Axial view.
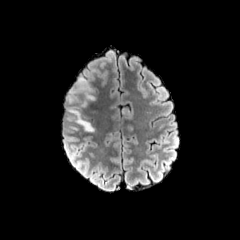
FLAIR MRI.
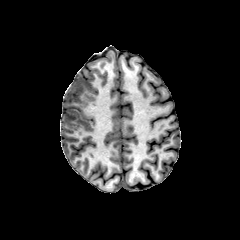
T1-weighted MR image of the same slice.
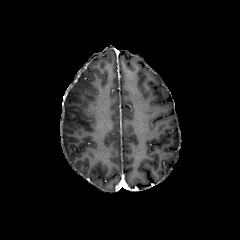
Same slice, post-contrast T1-weighted magnetic resonance.
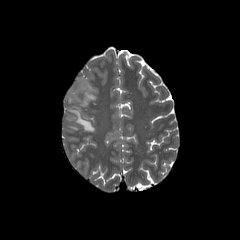
Same slice, T2-weighted MR.
peritumoral edema at <box>65,77,95,131</box>